FLAIR MRI.
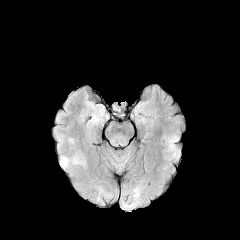
T1-weighted MR.
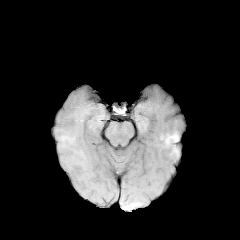
Post-contrast T1-weighted MR image.
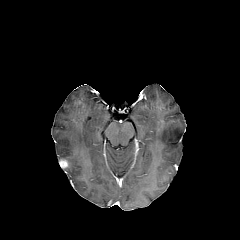
T2-weighted MR image.
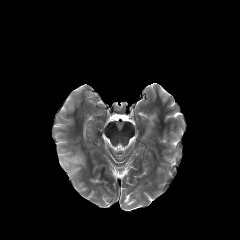
Axial slice.
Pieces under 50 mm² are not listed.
enhancing tumor: [59, 159, 68, 168] | peritumoral edema: [60, 153, 85, 173]